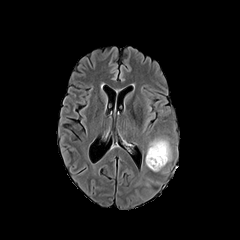
FLAIR MR.
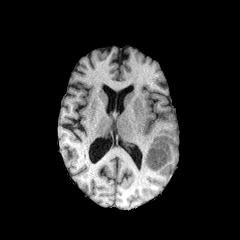
T1-weighted MR image of the same slice.
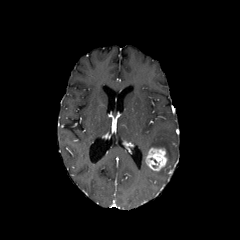
Post-contrast T1-weighted MR.
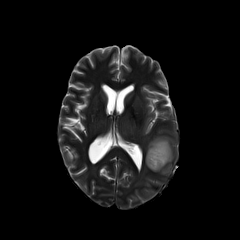
T2-weighted MRI of the same slice.
240x240; Head
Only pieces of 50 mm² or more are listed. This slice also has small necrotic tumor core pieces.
{"peritumoral_edema": ["[x1=147, y1=138, x2=172, y2=162]"], "enhancing_tumor": ["[x1=145, y1=147, x2=167, y2=171]"]}